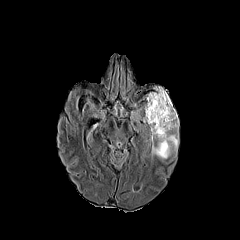
FLAIR MR.
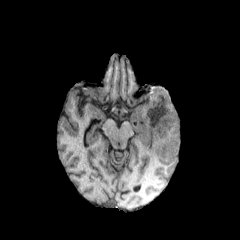
T1-weighted MRI of the same slice.
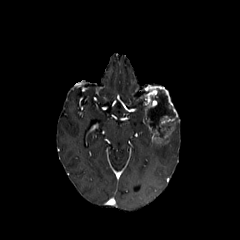
Post-contrast T1-weighted MRI.
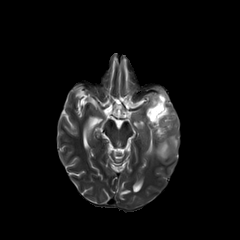
Same slice, T2-weighted MR image.
Head; Image size 240x240; Axial slice
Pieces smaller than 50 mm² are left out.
The enhancing tumor is at box=[144, 86, 177, 144]. The largest peritumoral edema region is at box=[156, 118, 178, 159]. The largest necrotic tumor core region lies within box=[147, 89, 175, 137].